240x240 px
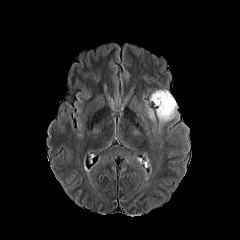
FLAIR MR.
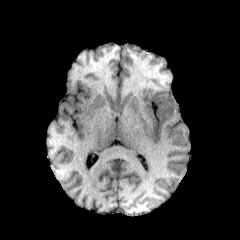
T1-weighted magnetic resonance.
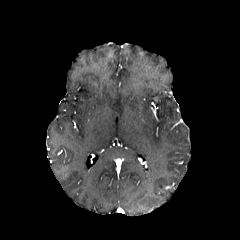
Post-contrast T1-weighted magnetic resonance.
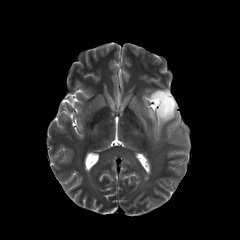
T2-weighted MR of the same slice.
Annotated regions:
• peritumoral edema: (150,90,177,122), (148,107,154,119)